FLAIR MR image.
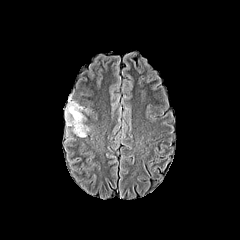
T1-weighted magnetic resonance.
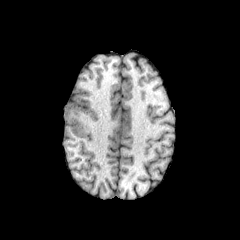
Post-contrast T1-weighted magnetic resonance.
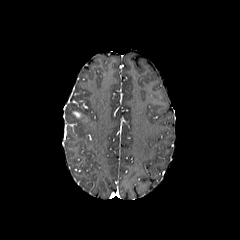
T2-weighted MR.
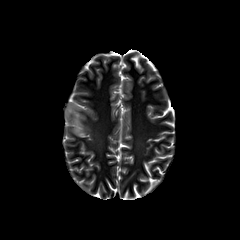
Axial slice
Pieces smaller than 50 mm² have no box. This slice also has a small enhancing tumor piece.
{
  "peritumoral_edema": [
    "65, 102, 89, 137"
  ]
}